FLAIR MR.
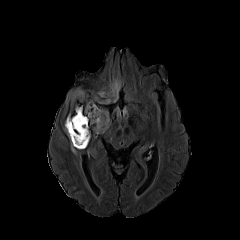
T1-weighted MR image.
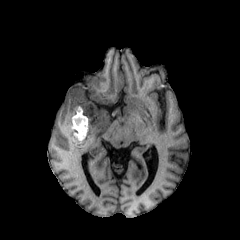
Post-contrast T1-weighted MR image.
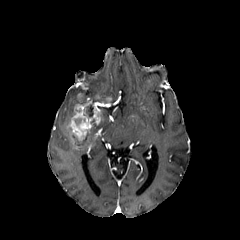
T2-weighted MRI.
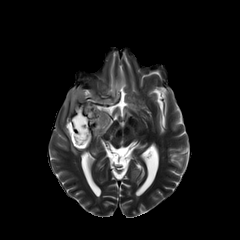
Brain
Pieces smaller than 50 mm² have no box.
<segmentation>
  <peritumoral_edema><bbox>65, 88, 84, 107</bbox>, <bbox>93, 109, 110, 132</bbox>, <bbox>97, 78, 121, 101</bbox>, <bbox>64, 112, 77, 154</bbox></peritumoral_edema>
  <enhancing_tumor><bbox>66, 93, 103, 149</bbox></enhancing_tumor>
  <necrotic_tumor_core><bbox>86, 105, 93, 116</bbox>, <bbox>72, 133, 87, 146</bbox></necrotic_tumor_core>
</segmentation>